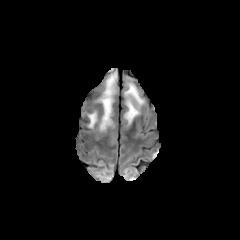
FLAIR MR.
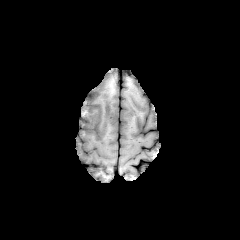
T1-weighted MRI of the same slice.
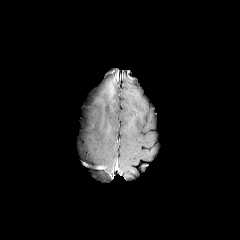
Post-contrast T1-weighted MR of the same slice.
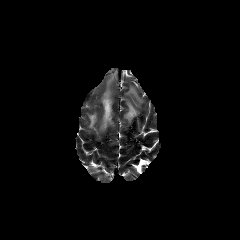
T2-weighted MR of the same slice.
Axial slice | Image size 240x240
peritumoral edema: {"x1": 87, "y1": 108, "x2": 98, "y2": 129}, {"x1": 123, "y1": 77, "x2": 145, "y2": 127}, {"x1": 94, "y1": 70, "x2": 117, "y2": 133}